240x240 px; Head; Image width 240 mm, 1.00 mm slice spacing
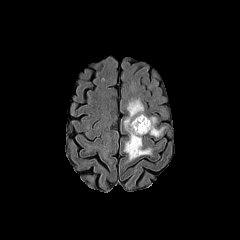
FLAIR MRI.
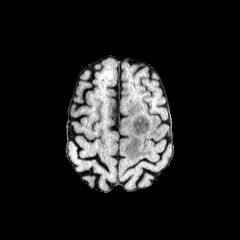
T1-weighted MRI of the same slice.
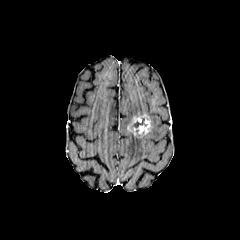
Post-contrast T1-weighted MRI.
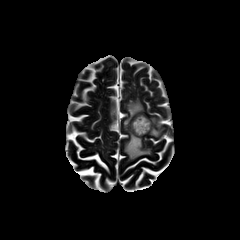
T2-weighted MRI.
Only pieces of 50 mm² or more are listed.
enhancing tumor: box(127, 114, 151, 137)
peritumoral edema: box(124, 132, 151, 160); box(124, 99, 143, 130); box(149, 117, 163, 136)
necrotic tumor core: box(132, 118, 144, 127)